Image size 240x240 | Slice index 126 | Brain
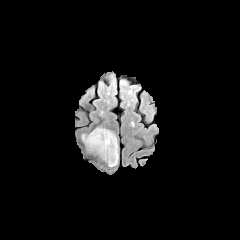
FLAIR MR image.
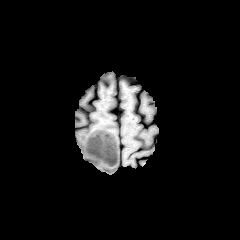
T1-weighted magnetic resonance.
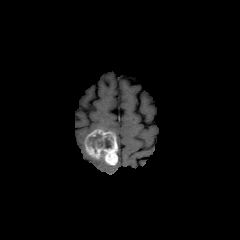
Post-contrast T1-weighted MRI of the same slice.
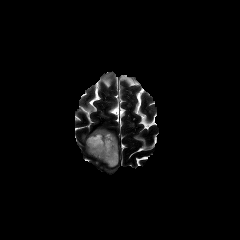
T2-weighted magnetic resonance.
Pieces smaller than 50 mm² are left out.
peritumoral edema: region(82, 129, 95, 152) | enhancing tumor: region(85, 129, 117, 165) | necrotic tumor core: region(88, 134, 101, 147); region(97, 137, 111, 148)